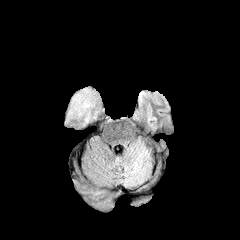
FLAIR MRI.
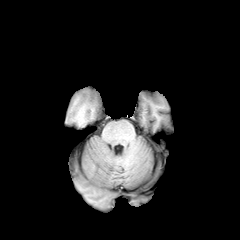
T1-weighted MR of the same slice.
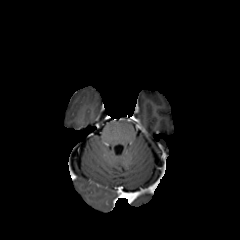
Post-contrast T1-weighted magnetic resonance of the same slice.
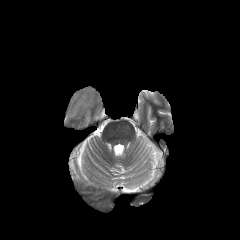
Same slice, T2-weighted magnetic resonance.
The peritumoral edema is located at x1=64 y1=86 x2=100 y2=128.